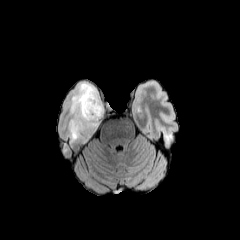
FLAIR MR.
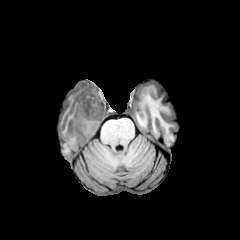
T1-weighted MR image of the same slice.
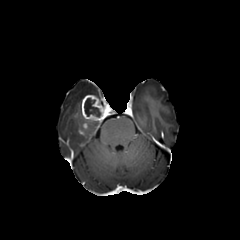
Post-contrast T1-weighted MR image.
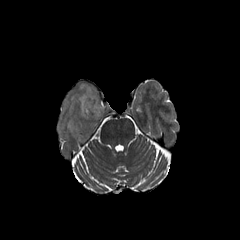
T2-weighted MRI.
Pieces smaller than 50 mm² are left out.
<segmentation>
  <peritumoral_edema>(67,82,100,140)</peritumoral_edema>
  <enhancing_tumor>(81,95,104,121)</enhancing_tumor>
  <necrotic_tumor_core>(84,98,100,117)</necrotic_tumor_core>
</segmentation>